Brain. Axial view.
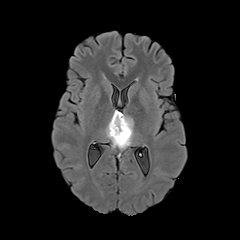
FLAIR MR.
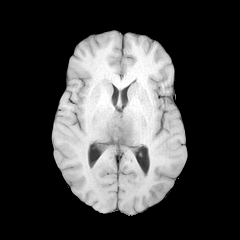
T1-weighted MR of the same slice.
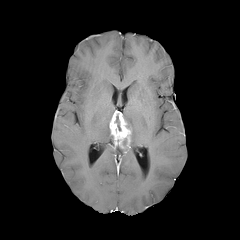
Post-contrast T1-weighted MRI.
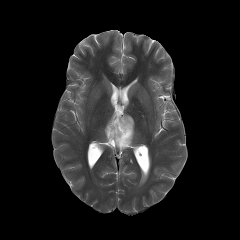
T2-weighted magnetic resonance.
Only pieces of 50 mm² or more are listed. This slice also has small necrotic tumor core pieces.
The enhancing tumor is located at bbox(109, 110, 131, 147). 2 peritumoral edema regions are located at bbox(123, 114, 134, 145); bbox(105, 121, 126, 149).